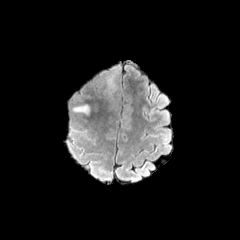
FLAIR MR image.
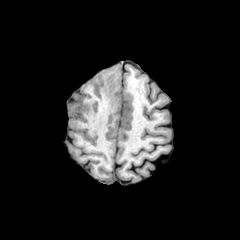
Same slice, T1-weighted MR image.
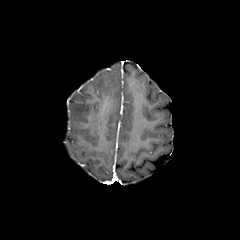
Post-contrast T1-weighted MR of the same slice.
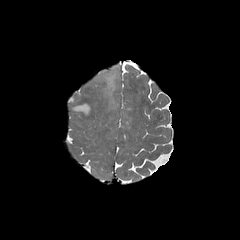
T2-weighted MRI.
Brain
Annotated regions:
- peritumoral edema: bbox=[103, 66, 119, 98]; bbox=[72, 104, 90, 114]